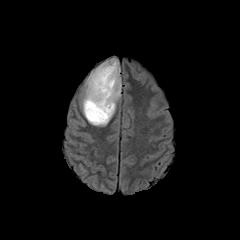
FLAIR magnetic resonance.
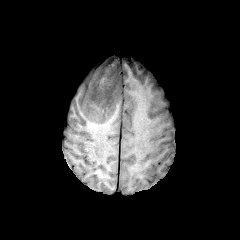
Same slice, T1-weighted MR image.
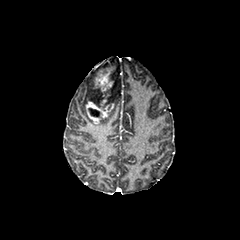
Same slice, post-contrast T1-weighted MRI.
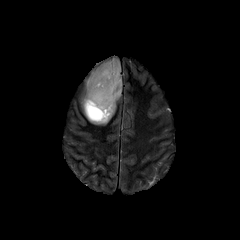
Same slice, T2-weighted magnetic resonance.
240x240 px; Axial plane
<segmentation>
  <necrotic_tumor_core>left=88, top=108, right=100, bottom=117</necrotic_tumor_core>
  <peritumoral_edema>left=81, top=58, right=121, bottom=125</peritumoral_edema>
  <enhancing_tumor>left=85, top=63, right=116, bottom=123</enhancing_tumor>
</segmentation>